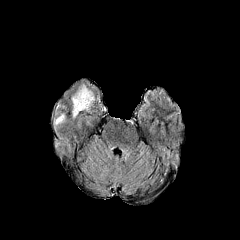
FLAIR MR image.
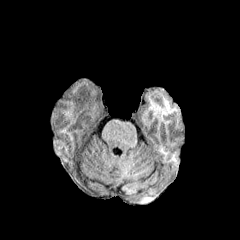
Same slice, T1-weighted MR image.
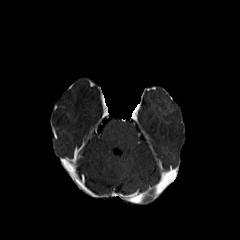
Post-contrast T1-weighted MR.
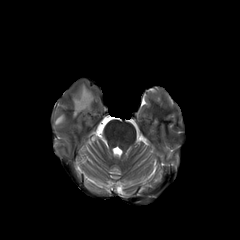
Same slice, T2-weighted magnetic resonance.
Head
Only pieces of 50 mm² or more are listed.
The 2 largest peritumoral edema regions appear at left=54, top=114, right=64, bottom=125; left=72, top=84, right=94, bottom=117.